Head | 240x240 px | Axial view
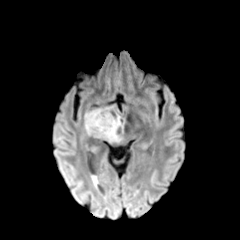
FLAIR MR.
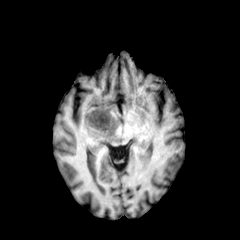
Same slice, T1-weighted MR image.
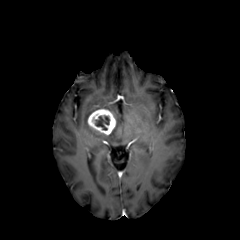
Post-contrast T1-weighted MR.
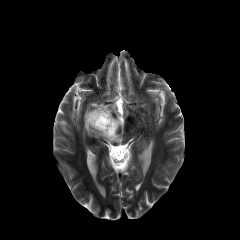
T2-weighted MR image.
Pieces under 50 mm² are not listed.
The largest peritumoral edema region is bounded by 84:109:123:142. The enhancing tumor is located at 87:109:116:135. The necrotic tumor core lies within 95:116:109:130.